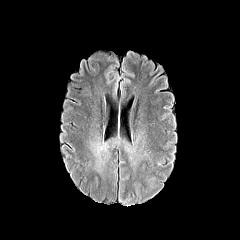
FLAIR magnetic resonance.
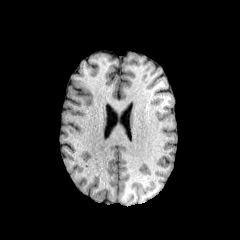
T1-weighted MR image.
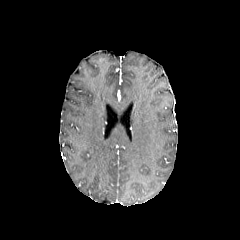
Post-contrast T1-weighted MR.
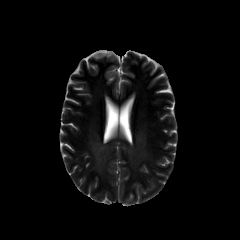
T2-weighted MR of the same slice.
Head | 240x240 px | Axial view
The peritumoral edema is at bbox(85, 131, 151, 179).